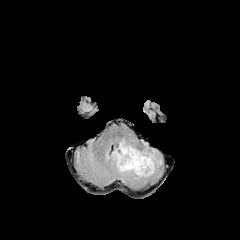
FLAIR MR.
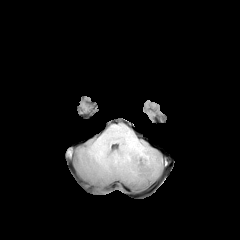
T1-weighted MR image of the same slice.
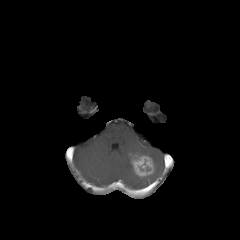
Post-contrast T1-weighted magnetic resonance of the same slice.
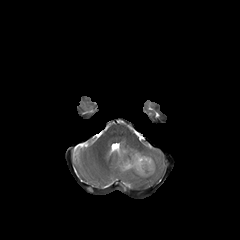
Same slice, T2-weighted MR.
Head
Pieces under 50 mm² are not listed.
peritumoral edema = 111, 140, 162, 182
enhancing tumor = 130, 153, 154, 177